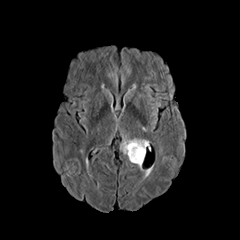
FLAIR MR.
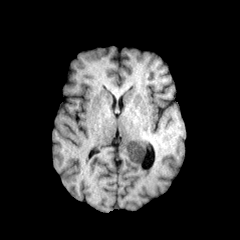
T1-weighted MR image.
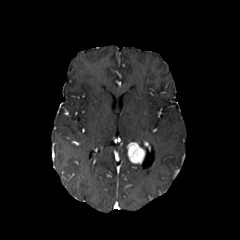
Post-contrast T1-weighted magnetic resonance.
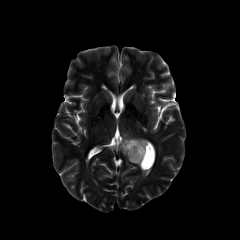
T2-weighted MRI.
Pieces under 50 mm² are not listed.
{"enhancing_tumor": ["126:142:145:164"], "peritumoral_edema": ["121:137:147:154"]}